240x240 px.
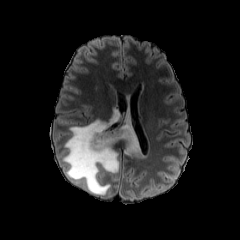
FLAIR magnetic resonance.
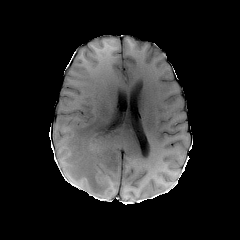
T1-weighted magnetic resonance.
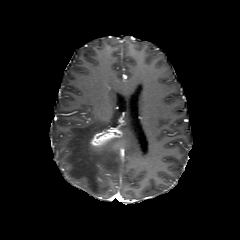
Same slice, post-contrast T1-weighted MR image.
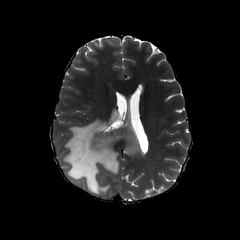
T2-weighted magnetic resonance.
peritumoral edema: bounding box region(63, 107, 140, 194)
enhancing tumor: bounding box region(90, 128, 121, 148)